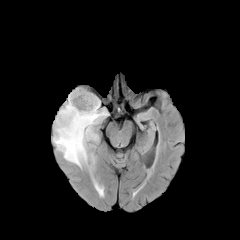
FLAIR MRI.
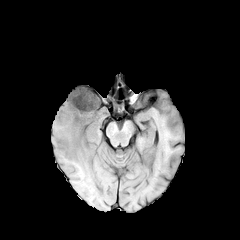
T1-weighted MR of the same slice.
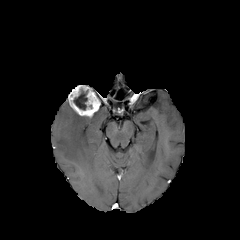
Same slice, post-contrast T1-weighted magnetic resonance.
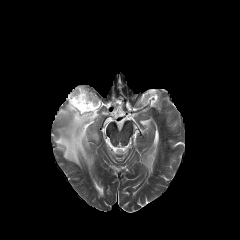
T2-weighted MRI.
Axial view
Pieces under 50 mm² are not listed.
Findings:
- necrotic tumor core: {"x1": 73, "y1": 91, "x2": 87, "y2": 109}
- peritumoral edema: {"x1": 53, "y1": 100, "x2": 108, "y2": 168}
- enhancing tumor: {"x1": 68, "y1": 85, "x2": 100, "y2": 117}